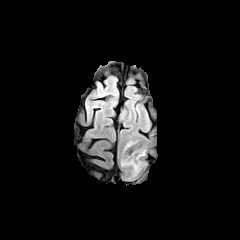
FLAIR MRI.
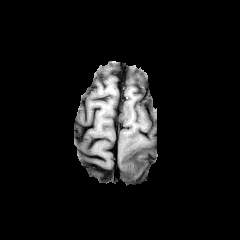
Same slice, T1-weighted MRI.
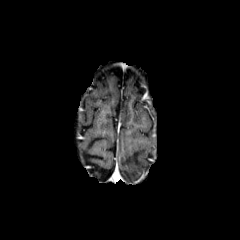
Post-contrast T1-weighted MRI.
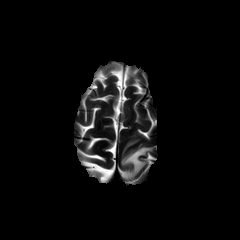
T2-weighted MRI.
Axial plane.
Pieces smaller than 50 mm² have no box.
The largest peritumoral edema region lies within box(121, 148, 146, 179).